FLAIR MR image.
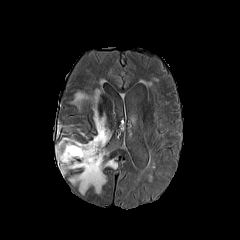
T1-weighted MRI.
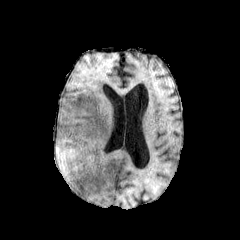
Post-contrast T1-weighted MR.
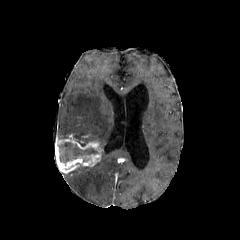
T2-weighted MR image.
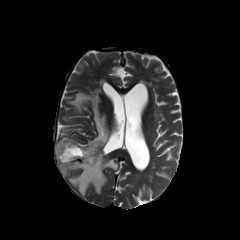
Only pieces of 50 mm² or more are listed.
Segmented structures:
• peritumoral edema: rect(73, 92, 88, 108); rect(69, 152, 117, 194); rect(93, 92, 108, 149)
• necrotic tumor core: rect(59, 142, 97, 162)
• enhancing tumor: rect(55, 136, 102, 173)